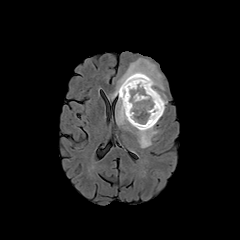
FLAIR MRI.
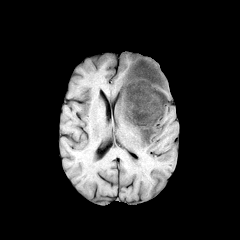
T1-weighted magnetic resonance.
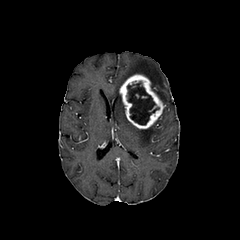
Post-contrast T1-weighted MR image of the same slice.
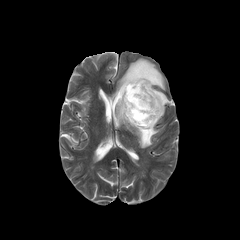
T2-weighted MR of the same slice.
Brain | 240x240
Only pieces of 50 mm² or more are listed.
necrotic tumor core: (x1=127, y1=82, x2=159, y2=124)
enhancing tumor: (x1=119, y1=74, x2=164, y2=129)
peritumoral edema: (x1=107, y1=58, x2=167, y2=148)